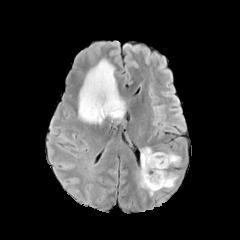
FLAIR MRI.
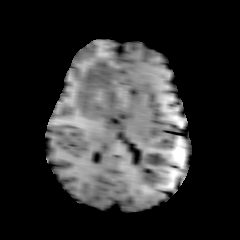
T1-weighted MR image.
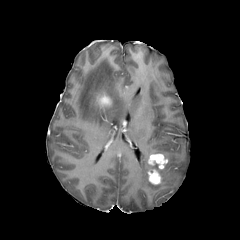
Post-contrast T1-weighted MR of the same slice.
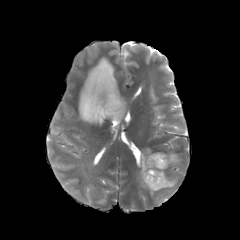
T2-weighted MR image.
240x240 px; Axial slice
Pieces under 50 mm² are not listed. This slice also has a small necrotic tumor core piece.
peritumoral_edema:
  - bbox(140, 147, 182, 195)
  - bbox(79, 59, 125, 124)
enhancing_tumor:
  - bbox(97, 94, 111, 107)
  - bbox(147, 168, 162, 184)
  - bbox(148, 153, 167, 169)